FLAIR MRI.
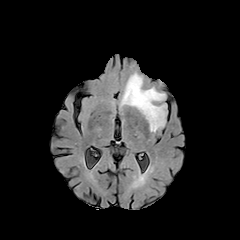
T1-weighted MR image.
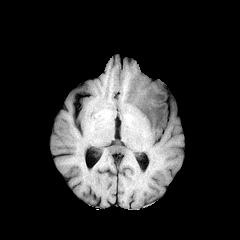
Post-contrast T1-weighted MR image.
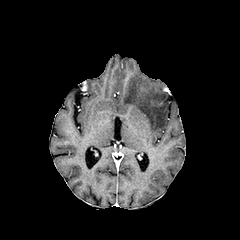
T2-weighted magnetic resonance.
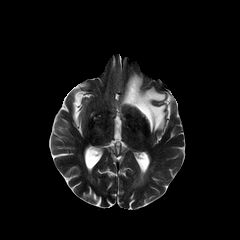
The peritumoral edema is bounded by rect(121, 73, 166, 131).